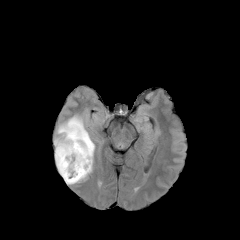
FLAIR MR image.
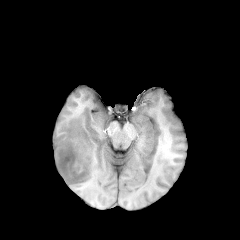
T1-weighted magnetic resonance.
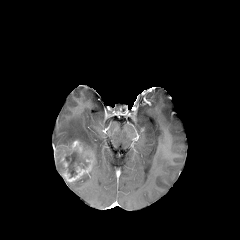
Same slice, post-contrast T1-weighted MR image.
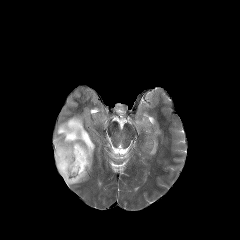
T2-weighted MRI.
Brain; 240x240 px
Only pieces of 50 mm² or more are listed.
necrotic tumor core at l=65, t=150, r=88, b=177
peritumoral edema at l=54, t=115, r=94, b=174; l=66, t=174, r=88, b=184
enhancing tumor at l=60, t=140, r=92, b=182